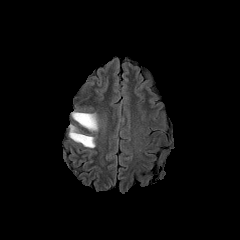
FLAIR magnetic resonance.
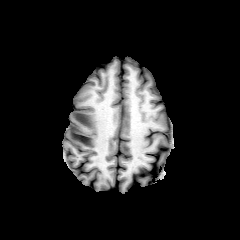
T1-weighted MR.
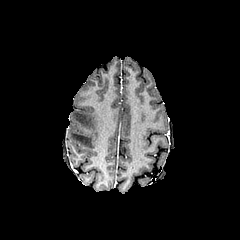
Post-contrast T1-weighted magnetic resonance.
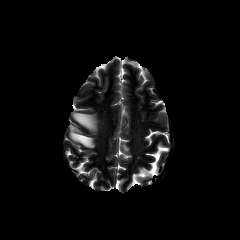
Same slice, T2-weighted MRI.
Brain. Axial plane. Image size 240x240.
peritumoral edema: (left=69, top=125, right=94, bottom=147), (left=72, top=112, right=97, bottom=131)